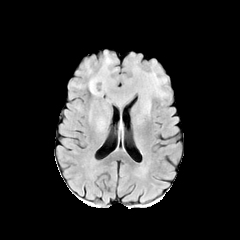
FLAIR MR.
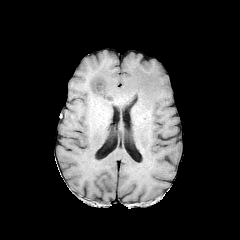
T1-weighted MR image of the same slice.
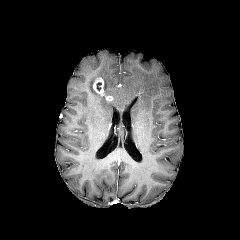
Post-contrast T1-weighted MR image.
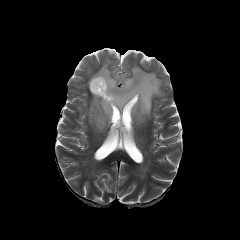
Same slice, T2-weighted MR.
Axial slice, Brain
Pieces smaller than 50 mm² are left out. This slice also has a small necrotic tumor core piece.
enhancing_tumor:
  - x1=92 y1=77 x2=104 y2=95
peritumoral_edema:
  - x1=88 y1=53 x2=167 y2=123
  - x1=95 y1=114 x2=106 y2=130